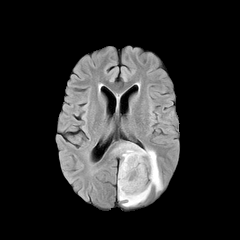
FLAIR magnetic resonance.
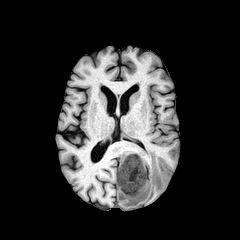
T1-weighted MR image.
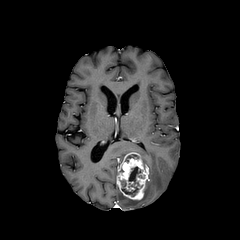
Same slice, post-contrast T1-weighted MR.
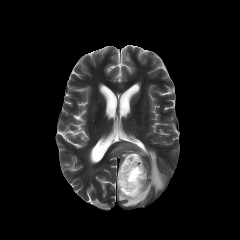
T2-weighted MR.
Brain.
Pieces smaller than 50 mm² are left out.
{"enhancing_tumor": ["(117, 152, 148, 199)"], "necrotic_tumor_core": ["(128, 167, 141, 185)", "(121, 181, 138, 196)"], "peritumoral_edema": ["(114, 143, 162, 206)"]}